FLAIR MRI.
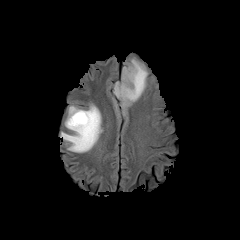
T1-weighted magnetic resonance.
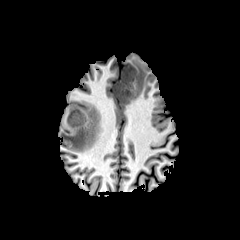
Post-contrast T1-weighted MR image.
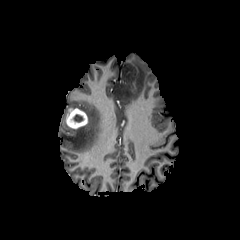
T2-weighted MR.
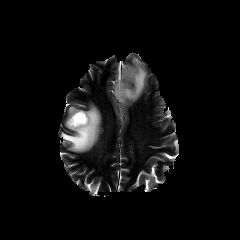
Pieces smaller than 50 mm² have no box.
peritumoral_edema:
  - 60 103 102 152
  - 113 58 147 109
enhancing_tumor:
  - 66 108 87 128
necrotic_tumor_core:
  - 73 115 83 122